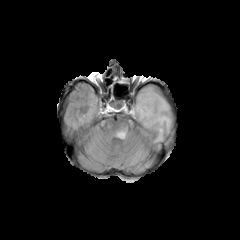
FLAIR MRI.
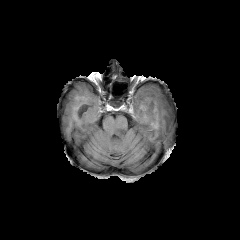
T1-weighted MR.
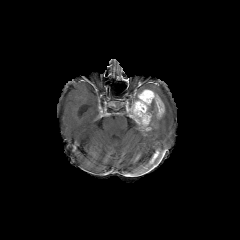
Post-contrast T1-weighted MR image of the same slice.
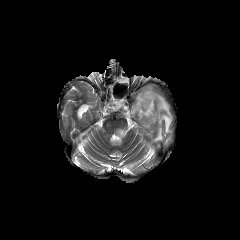
T2-weighted MRI.
Head. Axial slice.
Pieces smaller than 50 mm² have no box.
The enhancing tumor appears at left=126, top=89, right=164, bottom=130. The 2 largest peritumoral edema regions are located at left=148, top=95, right=171, bottom=141; left=112, top=124, right=127, bottom=138.